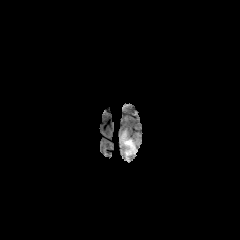
FLAIR MR image.
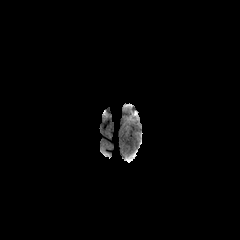
T1-weighted MR of the same slice.
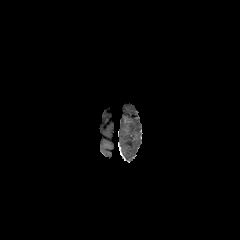
Same slice, post-contrast T1-weighted MR.
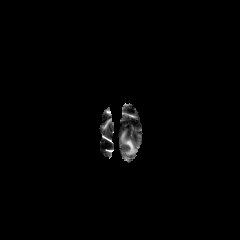
T2-weighted MR.
Head. 240x240 px.
Annotated regions:
• peritumoral edema: 121:132:136:154